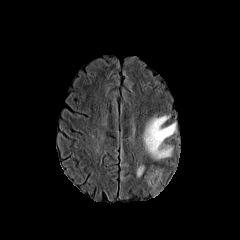
FLAIR MRI.
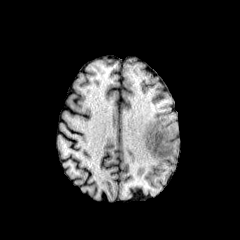
T1-weighted magnetic resonance.
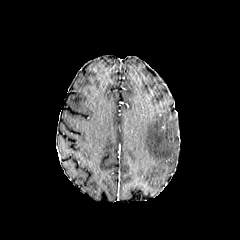
Post-contrast T1-weighted MR of the same slice.
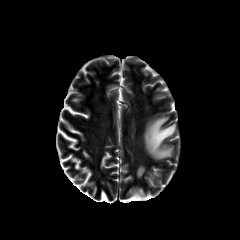
T2-weighted magnetic resonance of the same slice.
Image size 240x240
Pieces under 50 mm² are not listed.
Segmented structures:
• peritumoral edema: (137,165,144,176), (142,115,176,159), (145,166,162,187)